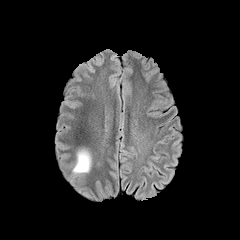
FLAIR MR.
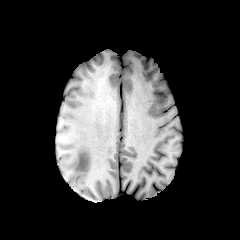
T1-weighted MR.
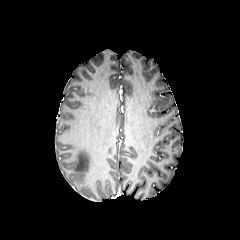
Post-contrast T1-weighted MR.
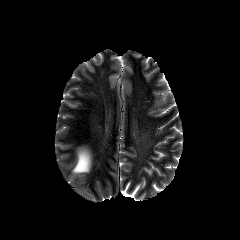
T2-weighted MR image.
Head
Segmented structures:
• peritumoral edema: l=73, t=149, r=91, b=173